FLAIR MR.
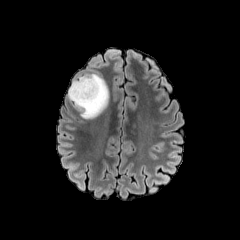
T1-weighted MR.
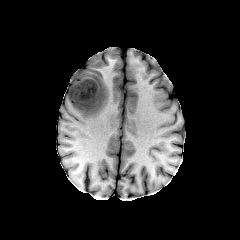
Post-contrast T1-weighted MR image.
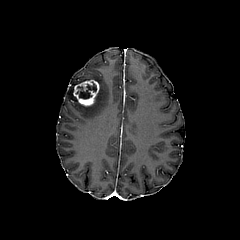
T2-weighted MR image.
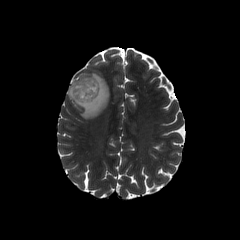
Brain.
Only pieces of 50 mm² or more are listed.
The peritumoral edema appears at rect(67, 73, 109, 119). The enhancing tumor appears at rect(73, 79, 99, 106). The 2 largest necrotic tumor core regions are located at rect(86, 83, 96, 91); rect(76, 90, 91, 98).